FLAIR MRI.
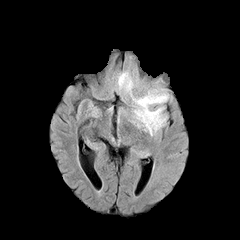
T1-weighted MR image.
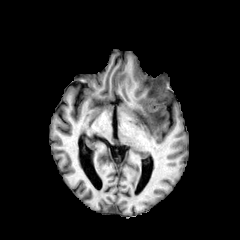
Post-contrast T1-weighted magnetic resonance.
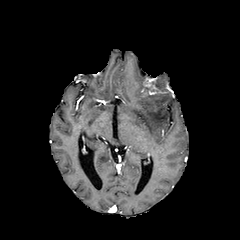
T2-weighted MR.
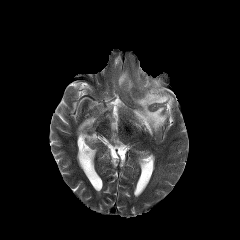
Head; Axial plane
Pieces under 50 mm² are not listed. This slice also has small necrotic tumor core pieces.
Segmented structures:
• enhancing tumor: (143, 78, 160, 94)
• peritumoral edema: (118, 70, 171, 135)